240x240 px | Slice index 115 | Brain
FLAIR MR.
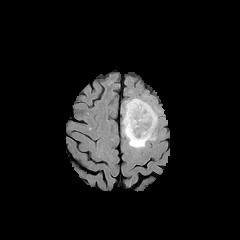
T1-weighted MR.
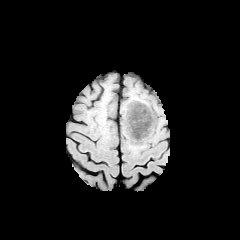
Post-contrast T1-weighted MRI.
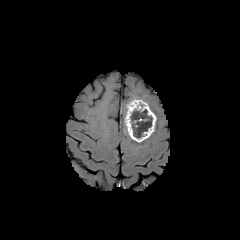
T2-weighted magnetic resonance.
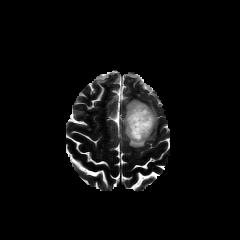
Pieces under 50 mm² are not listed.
The enhancing tumor is bounded by region(124, 99, 156, 142). The largest necrotic tumor core region appears at region(133, 115, 152, 138). 2 peritumoral edema regions are located at region(122, 98, 156, 148); region(147, 103, 158, 126).